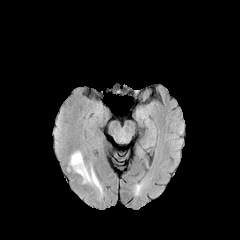
FLAIR magnetic resonance.
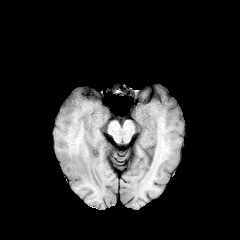
T1-weighted MR image of the same slice.
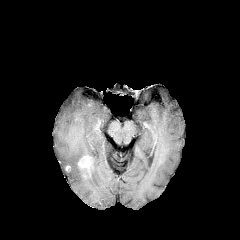
Same slice, post-contrast T1-weighted MR image.
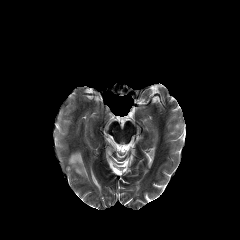
Same slice, T2-weighted MR.
Head; 240x240 px; Axial plane
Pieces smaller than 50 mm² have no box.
The peritumoral edema is bounded by 69, 151, 101, 192. The largest enhancing tumor region lies within 78, 158, 90, 171.